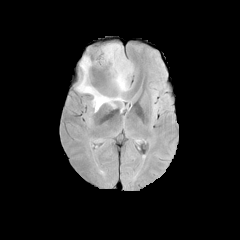
FLAIR MR image.
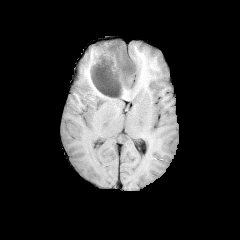
Same slice, T1-weighted MR.
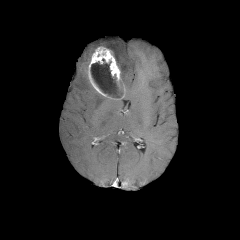
Post-contrast T1-weighted MRI.
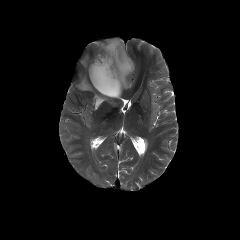
T2-weighted MR.
240x240. Brain.
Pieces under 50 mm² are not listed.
• enhancing tumor: x1=87, y1=46, x2=125, y2=100
• peritumoral edema: x1=103, y1=42, x2=133, y2=90; x1=77, y1=57, x2=116, y2=111
• necrotic tumor core: x1=90, y1=62, x2=123, y2=97